Slice index 83; Image size 240x240; Brain
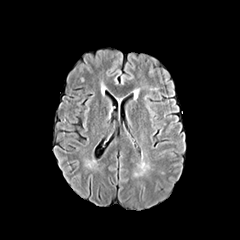
FLAIR MR.
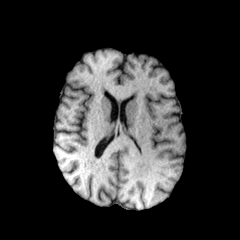
T1-weighted MR.
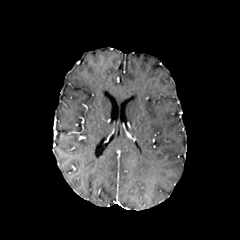
Post-contrast T1-weighted MR.
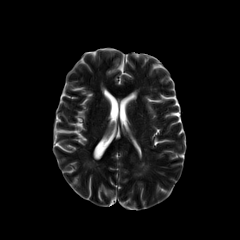
T2-weighted MR image.
The peritumoral edema lies within {"x1": 135, "y1": 161, "x2": 149, "y2": 175}.